FLAIR MRI.
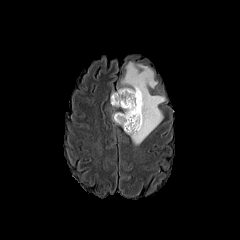
T1-weighted magnetic resonance.
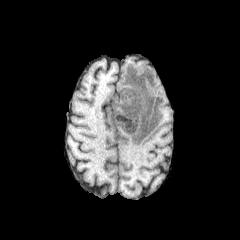
Post-contrast T1-weighted magnetic resonance.
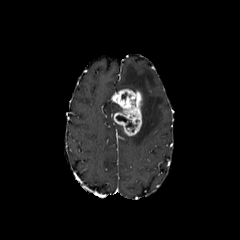
T2-weighted MR.
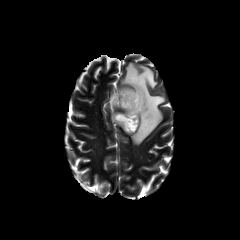
Brain.
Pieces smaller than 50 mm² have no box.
The largest necrotic tumor core region is located at [x1=116, y1=115, x2=128, y2=122]. The enhancing tumor is at [x1=111, y1=89, x2=142, y2=135]. The largest peritumoral edema region lies within [x1=117, y1=61, x2=166, y2=145].